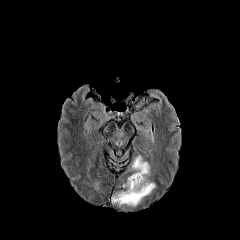
FLAIR magnetic resonance.
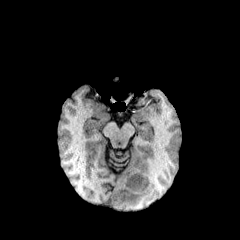
T1-weighted MRI.
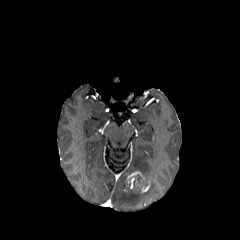
Post-contrast T1-weighted magnetic resonance.
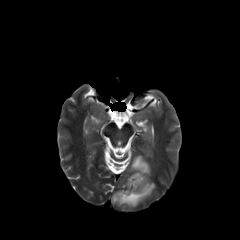
T2-weighted MR image of the same slice.
Brain
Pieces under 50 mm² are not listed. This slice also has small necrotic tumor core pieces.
{"peritumoral_edema": [{"x1": 131, "y1": 155, "x2": 150, "y2": 179}, {"x1": 111, "y1": 182, "x2": 155, "y2": 206}], "enhancing_tumor": [{"x1": 127, "y1": 171, "x2": 150, "y2": 192}]}